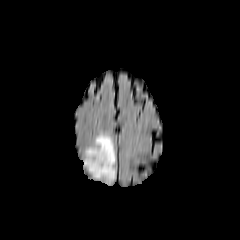
FLAIR MR.
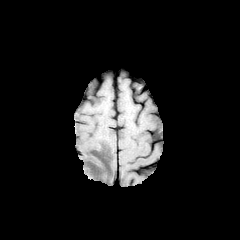
T1-weighted magnetic resonance.
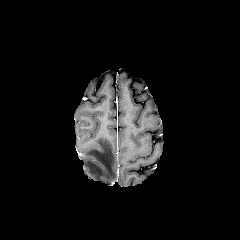
Post-contrast T1-weighted MRI.
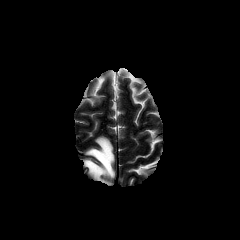
T2-weighted magnetic resonance.
Brain, Axial slice
The peritumoral edema is located at bbox=[83, 134, 115, 184].